Slice 44/155. Brain.
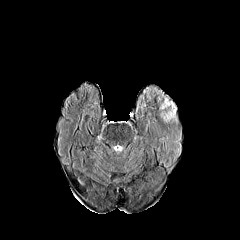
FLAIR MR image.
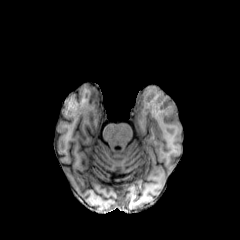
T1-weighted MR.
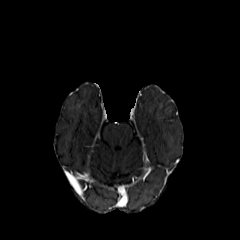
Post-contrast T1-weighted MR image of the same slice.
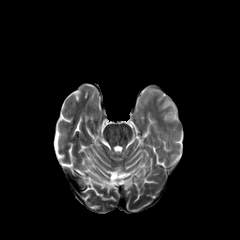
Same slice, T2-weighted MR.
<segmentation>
  <peritumoral_edema>(160,96,177,122)</peritumoral_edema>
</segmentation>